FLAIR MR image.
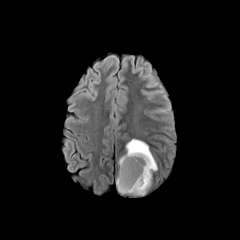
T1-weighted magnetic resonance.
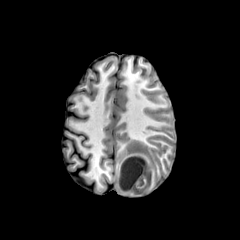
Post-contrast T1-weighted MRI.
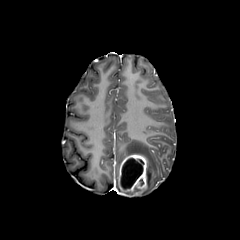
T2-weighted magnetic resonance.
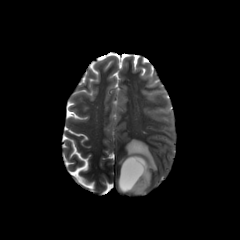
Brain
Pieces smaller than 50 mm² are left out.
peritumoral edema — [x1=119, y1=139, x2=157, y2=188]
enhancing tumor — [x1=118, y1=154, x2=147, y2=194]
necrotic tumor core — [x1=120, y1=158, x2=144, y2=189]